FLAIR MR image.
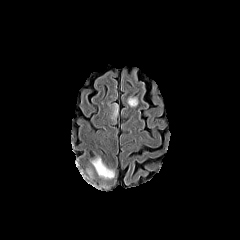
T1-weighted MR.
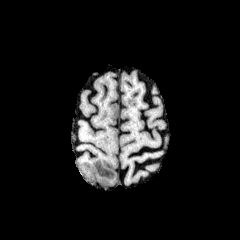
Post-contrast T1-weighted MRI.
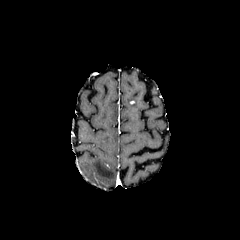
T2-weighted MR image.
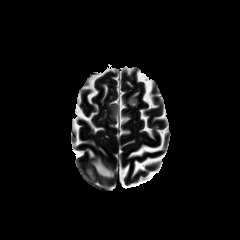
Axial slice | Head
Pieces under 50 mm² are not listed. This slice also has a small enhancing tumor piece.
peritumoral_edema:
  - 110,103,118,123
  - 86,166,94,178
  - 127,96,138,107
  - 88,151,116,181